FLAIR MRI.
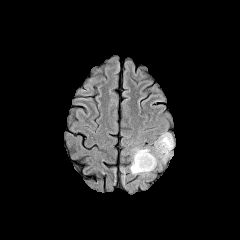
T1-weighted MR.
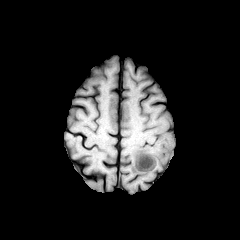
Post-contrast T1-weighted MR.
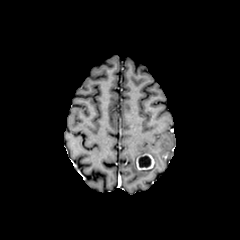
T2-weighted MR.
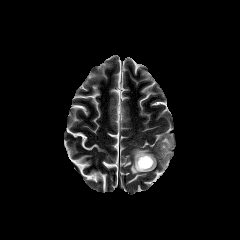
Head
enhancing tumor = box(136, 154, 154, 170)
peritumoral edema = box(156, 132, 173, 161); box(130, 147, 157, 174)
necrotic tumor core = box(138, 157, 150, 167)